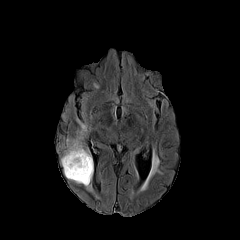
FLAIR MR image.
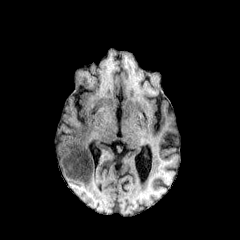
T1-weighted magnetic resonance.
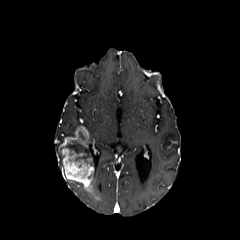
Same slice, post-contrast T1-weighted MR.
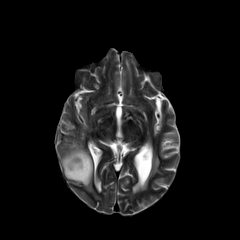
Same slice, T2-weighted MR image.
Head. Axial view.
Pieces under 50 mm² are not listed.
The largest enhancing tumor region is at 58 126 100 200. The largest peritumoral edema region is at 78 114 90 131. The largest necrotic tumor core region appears at 66 140 89 163.